240x240; Axial slice
FLAIR MR.
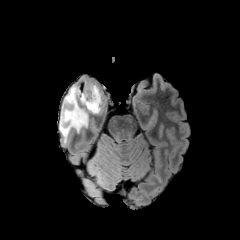
T1-weighted MR.
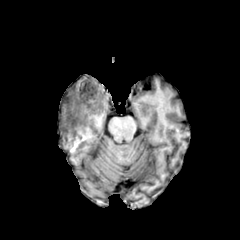
Post-contrast T1-weighted magnetic resonance.
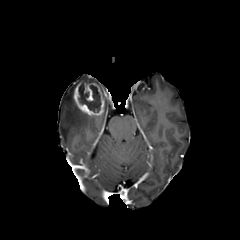
T2-weighted MR.
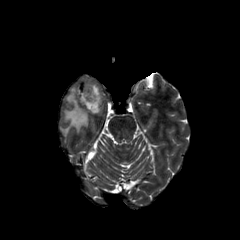
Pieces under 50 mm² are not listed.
The enhancing tumor is located at 73 83 105 115. The largest peritumoral edema region is located at 60 83 88 136. The necrotic tumor core appears at 78 85 101 112.